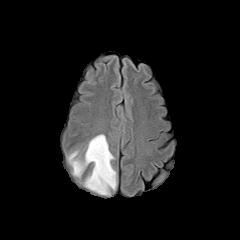
FLAIR magnetic resonance.
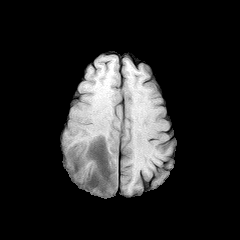
T1-weighted MR of the same slice.
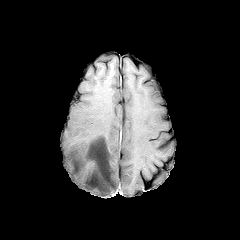
Post-contrast T1-weighted MR of the same slice.
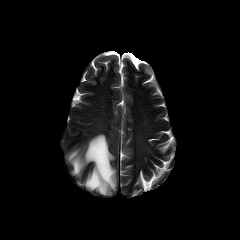
T2-weighted MRI.
The peritumoral edema is bounded by (left=67, top=134, right=116, bottom=195).